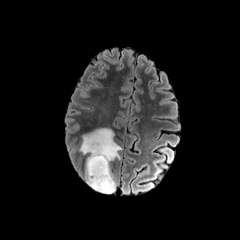
FLAIR MR image.
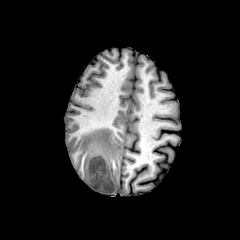
T1-weighted magnetic resonance.
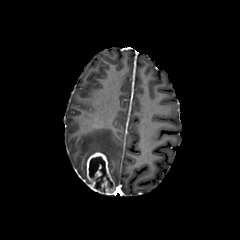
Same slice, post-contrast T1-weighted MR image.
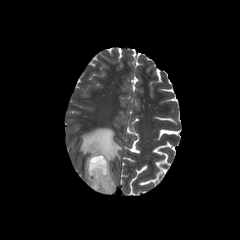
T2-weighted MR image.
Brain
necrotic tumor core at [x1=89, y1=156, x2=112, y2=192]
enhancing tumor at [x1=86, y1=152, x2=116, y2=194]
peritumoral edema at [x1=79, y1=128, x2=121, y2=186]